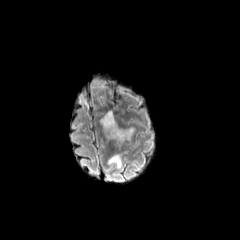
FLAIR MR image.
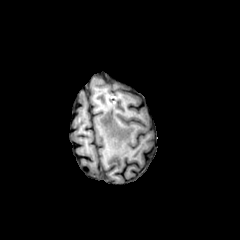
Same slice, T1-weighted magnetic resonance.
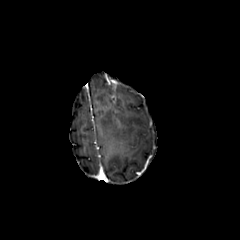
Same slice, post-contrast T1-weighted MR.
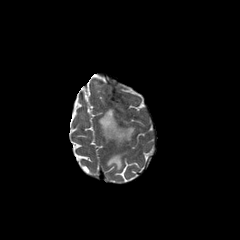
T2-weighted MRI.
<segmentation>
  <peritumoral_edema>(left=108, top=154, right=122, bottom=168), (left=100, top=110, right=135, bottom=146)</peritumoral_edema>
</segmentation>